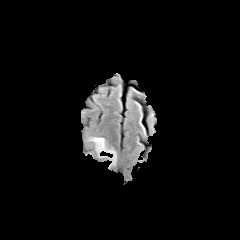
FLAIR MR.
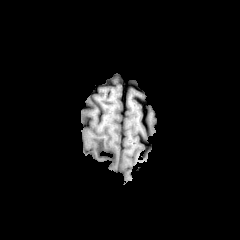
Same slice, T1-weighted MR image.
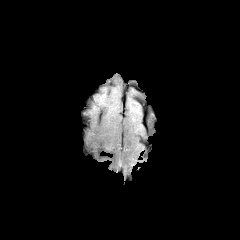
Post-contrast T1-weighted MR image.
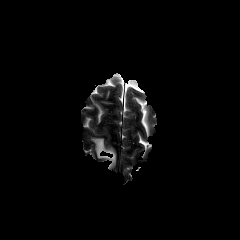
T2-weighted MR.
Brain.
The peritumoral edema is at bbox(93, 138, 116, 168).